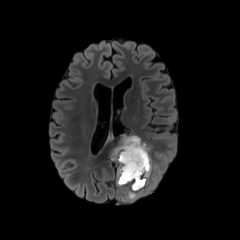
FLAIR magnetic resonance.
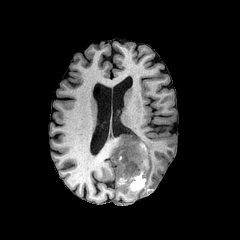
Same slice, T1-weighted MR.
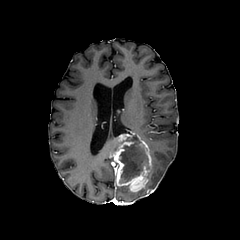
Post-contrast T1-weighted magnetic resonance.
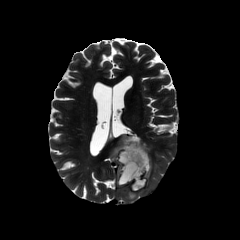
T2-weighted MRI.
Axial slice, 240x240
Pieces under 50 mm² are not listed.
Findings:
- necrotic tumor core: <box>119,137,148,183</box>
- peritumoral edema: <box>146,160,159,190</box>, <box>126,191,136,198</box>
- enhancing tumor: <box>110,134,151,191</box>